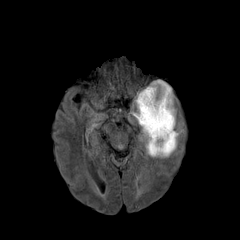
FLAIR MR.
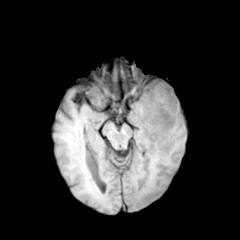
T1-weighted magnetic resonance.
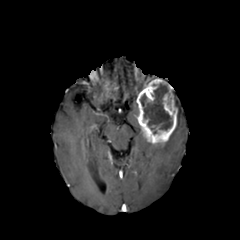
Post-contrast T1-weighted MR.
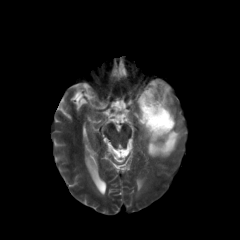
T2-weighted MR of the same slice.
Brain
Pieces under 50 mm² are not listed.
enhancing tumor: 136 78 177 146 | peritumoral edema: 140 122 183 157 | necrotic tumor core: 141 83 172 130